Slice 103 of 155
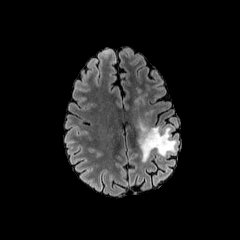
FLAIR MR image.
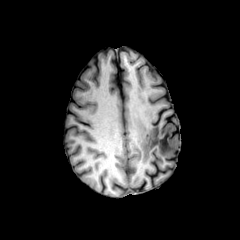
Same slice, T1-weighted magnetic resonance.
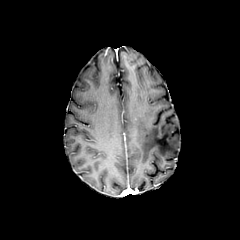
Post-contrast T1-weighted MR image of the same slice.
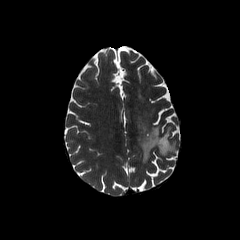
T2-weighted MR image.
Segmented structures:
- peritumoral edema: (138,123,176,162)